Axial view; 240x240 px
FLAIR MRI.
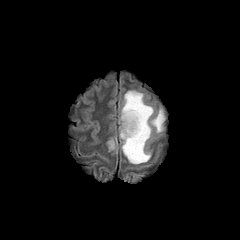
T1-weighted MRI.
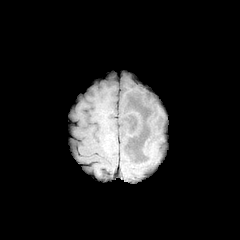
Post-contrast T1-weighted magnetic resonance.
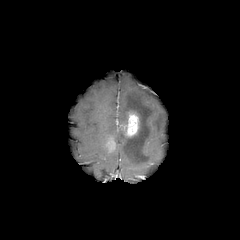
T2-weighted magnetic resonance.
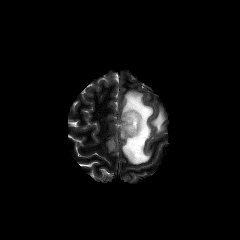
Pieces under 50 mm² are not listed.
<segmentation>
  <peritumoral_edema>{"x1": 119, "y1": 90, "x2": 164, "y2": 164}</peritumoral_edema>
  <enhancing_tumor>{"x1": 120, "y1": 111, "x2": 139, "y2": 137}, {"x1": 108, "y1": 140, "x2": 115, "y2": 149}</enhancing_tumor>
</segmentation>